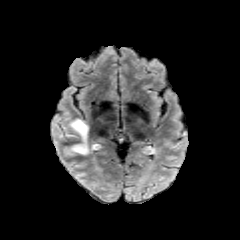
FLAIR MRI.
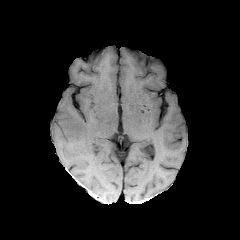
T1-weighted MR image of the same slice.
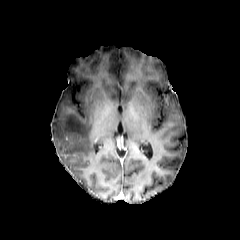
Post-contrast T1-weighted MR image.
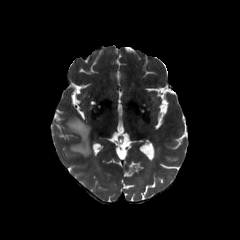
Same slice, T2-weighted MR.
Brain. Axial view.
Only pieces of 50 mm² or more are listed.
peritumoral edema: bbox(68, 119, 90, 154)